FLAIR magnetic resonance.
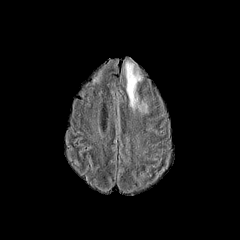
T1-weighted magnetic resonance.
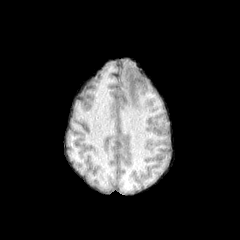
Post-contrast T1-weighted magnetic resonance.
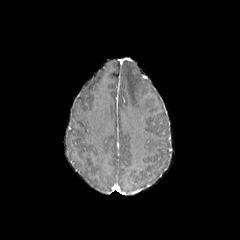
T2-weighted MR image.
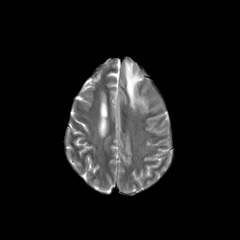
{
  "peritumoral_edema": [
    "[x1=123, y1=58, x2=148, y2=113]"
  ]
}